Brain
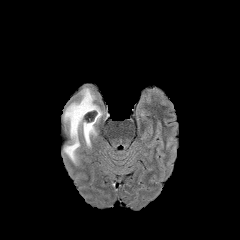
FLAIR MRI.
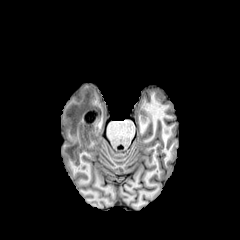
T1-weighted MRI.
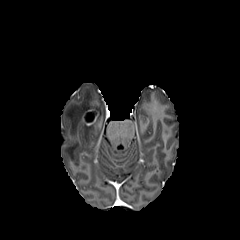
Same slice, post-contrast T1-weighted MR.
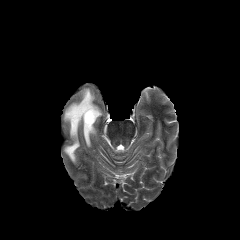
T2-weighted MR.
The enhancing tumor is located at region(82, 109, 99, 125). The peritumoral edema is bounded by region(64, 88, 102, 162).